Head, Axial view
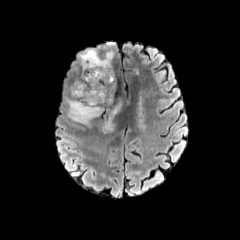
FLAIR MRI.
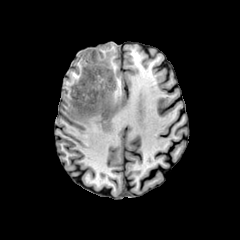
T1-weighted MR.
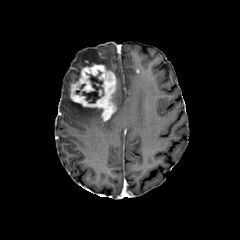
Post-contrast T1-weighted MR.
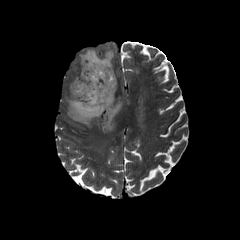
T2-weighted MRI.
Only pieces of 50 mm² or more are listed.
The largest enhancing tumor region appears at 70 64 116 120. The 3 largest peritumoral edema regions are located at 103 98 121 130, 67 98 101 126, 79 49 113 71. The largest necrotic tumor core region is located at 82 71 103 103.